Head
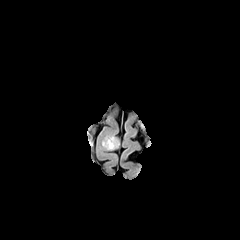
FLAIR MR.
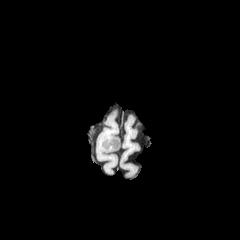
T1-weighted MRI.
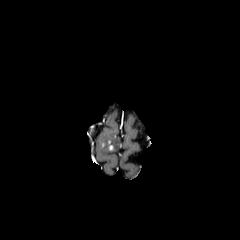
Post-contrast T1-weighted MRI.
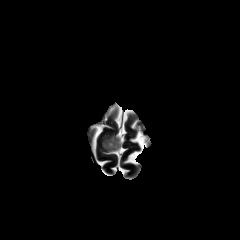
T2-weighted magnetic resonance of the same slice.
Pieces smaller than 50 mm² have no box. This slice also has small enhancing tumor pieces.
peritumoral edema: [102,135,119,150]